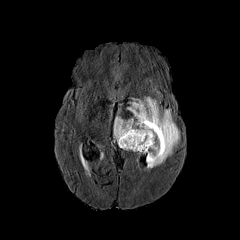
FLAIR MR.
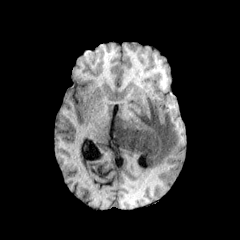
T1-weighted MR image.
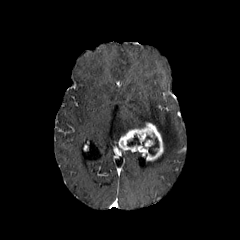
Post-contrast T1-weighted MR image of the same slice.
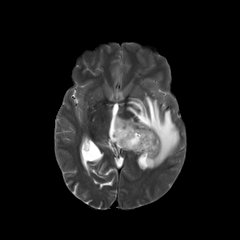
T2-weighted MR.
Brain.
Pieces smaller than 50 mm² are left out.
- enhancing tumor: l=118, t=122, r=163, b=161
- necrotic tumor core: l=127, t=135, r=140, b=146; l=148, t=138, r=158, b=155
- peritumoral edema: l=114, t=97, r=179, b=168